Axial view | Brain | 240x240
FLAIR MR.
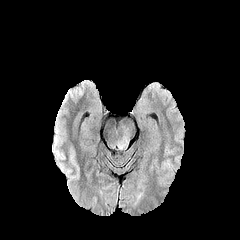
T1-weighted magnetic resonance.
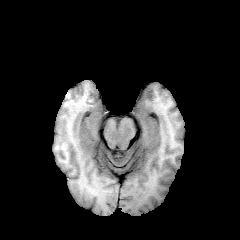
Post-contrast T1-weighted MRI.
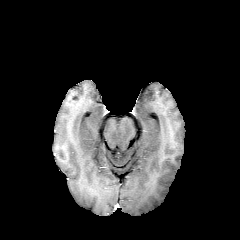
T2-weighted MRI.
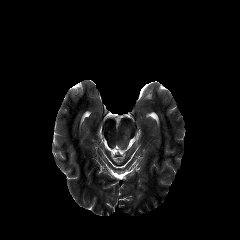
peritumoral edema at <bbox>118, 130, 129, 149</bbox>